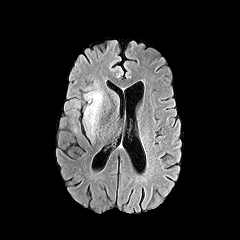
FLAIR MR image.
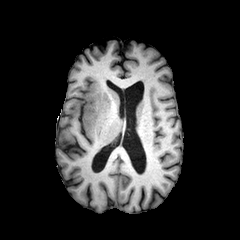
T1-weighted MR image of the same slice.
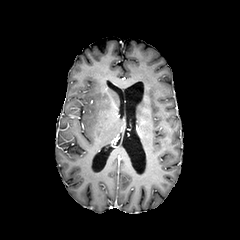
Post-contrast T1-weighted magnetic resonance.
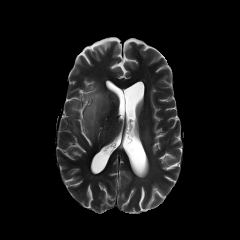
Same slice, T2-weighted MR.
Brain.
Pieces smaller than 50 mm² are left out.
<segmentation>
  <peritumoral_edema>84 89 103 133</peritumoral_edema>
</segmentation>